FLAIR magnetic resonance.
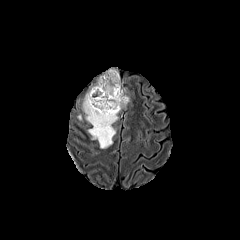
T1-weighted MR image.
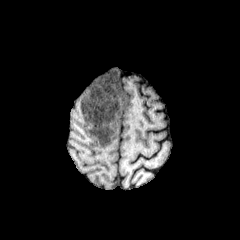
Post-contrast T1-weighted MR image.
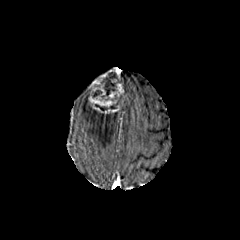
T2-weighted magnetic resonance.
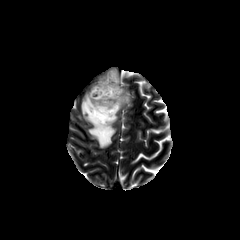
Head, Axial view
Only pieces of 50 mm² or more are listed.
The 3 largest necrotic tumor core regions are bounded by left=95, top=95, right=123, bottom=111; left=91, top=90, right=102, bottom=97; left=101, top=72, right=122, bottom=98. The largest enhancing tumor region lies within left=88, top=68, right=126, bottom=114. The largest peritumoral edema region appears at left=83, top=93, right=118, bottom=148.